FLAIR MR image.
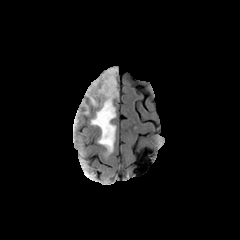
T1-weighted MR image.
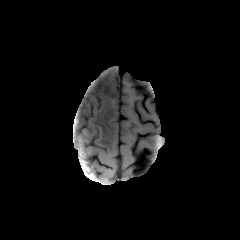
Post-contrast T1-weighted MRI.
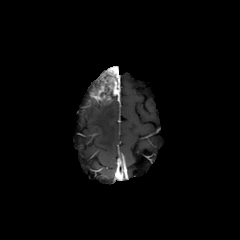
T2-weighted magnetic resonance.
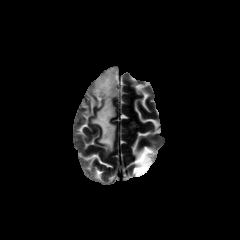
Image size 240x240; Axial slice
<segmentation>
  <peritumoral_edema>[x1=78, y1=97, x2=116, y2=156], [x1=85, y1=80, x2=95, y2=99]</peritumoral_edema>
  <enhancing_tumor>[x1=89, y1=66, x2=120, y2=104]</enhancing_tumor>
</segmentation>